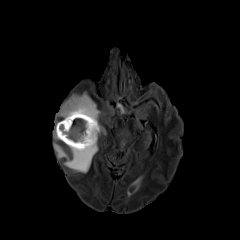
FLAIR MRI.
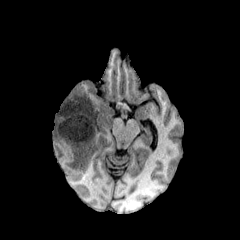
T1-weighted MR image of the same slice.
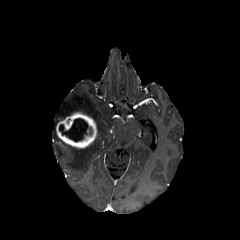
Same slice, post-contrast T1-weighted MRI.
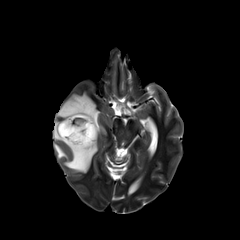
T2-weighted MR image.
Axial plane, Brain
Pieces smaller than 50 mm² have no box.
necrotic tumor core = (left=59, top=118, right=92, bottom=141)
enhancing tumor = (left=56, top=112, right=97, bottom=148)
peritumoral edema = (left=57, top=92, right=105, bottom=133), (left=54, top=135, right=98, bottom=173)